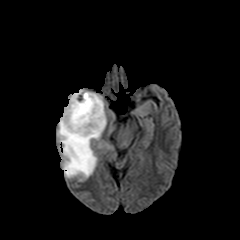
FLAIR MR image.
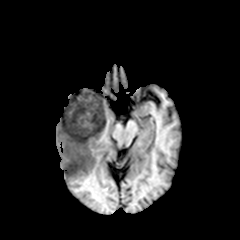
T1-weighted MRI of the same slice.
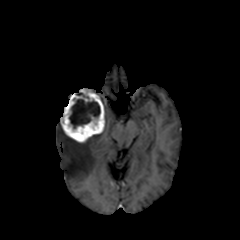
Same slice, post-contrast T1-weighted MR image.
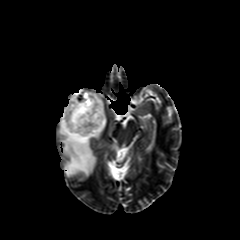
T2-weighted magnetic resonance.
240x240, Axial slice
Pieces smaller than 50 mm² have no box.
Segmented structures:
• enhancing tumor: 60,88,105,142
• necrotic tumor core: 69,99,100,128
• peritumoral edema: 57,123,101,180